Slice index 88, Axial plane
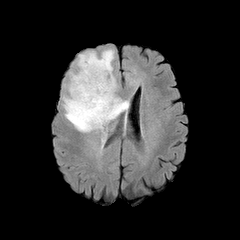
FLAIR MRI.
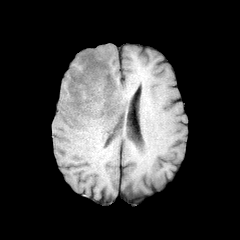
T1-weighted MR of the same slice.
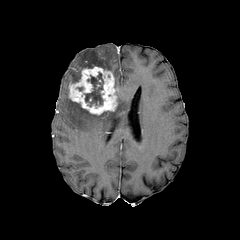
Post-contrast T1-weighted MR.
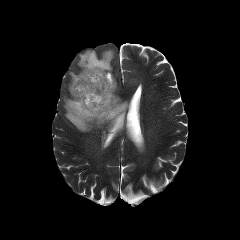
T2-weighted MR of the same slice.
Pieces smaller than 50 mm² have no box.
peritumoral edema: bounding box (63, 97, 128, 132), (70, 49, 114, 82)
enhancing tumor: bounding box (68, 66, 117, 115)
necrotic tumor core: bounding box (85, 72, 103, 106)